FLAIR magnetic resonance.
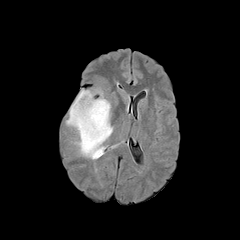
T1-weighted MRI.
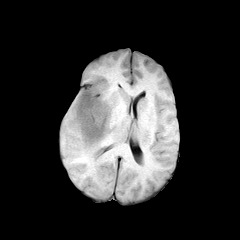
Post-contrast T1-weighted magnetic resonance.
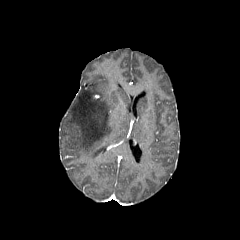
T2-weighted MR image.
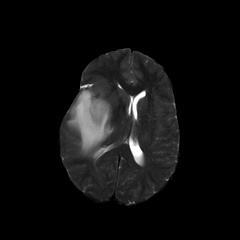
Image size 240x240.
<segmentation>
  <peritumoral_edema>[66, 90, 112, 159]</peritumoral_edema>
</segmentation>